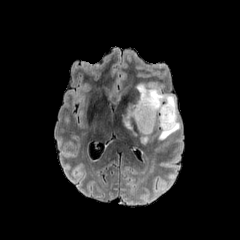
FLAIR MR.
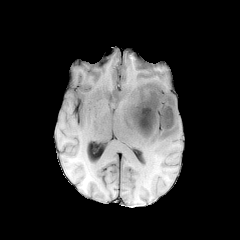
T1-weighted MR.
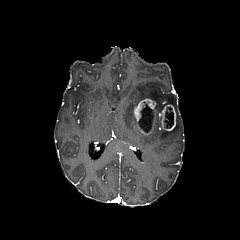
Post-contrast T1-weighted MRI.
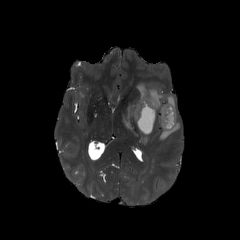
T2-weighted MRI.
Brain
{
  "enhancing_tumor": [
    "<bbox>159, 104, 176, 131</bbox>",
    "<bbox>133, 98, 157, 134</bbox>"
  ],
  "peritumoral_edema": [
    "<bbox>140, 134, 148, 144</bbox>",
    "<bbox>122, 83, 180, 139</bbox>"
  ],
  "necrotic_tumor_core": [
    "<bbox>138, 103, 154, 132</bbox>",
    "<bbox>164, 107, 173, 128</bbox>"
  ]
}